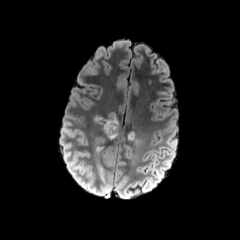
FLAIR MRI.
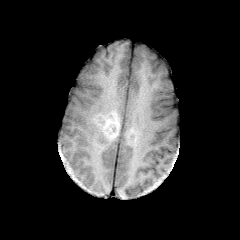
T1-weighted MR image of the same slice.
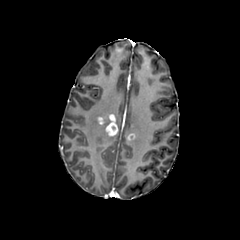
Post-contrast T1-weighted MRI.
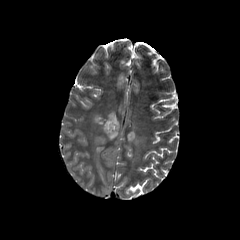
Same slice, T2-weighted MR.
Axial plane
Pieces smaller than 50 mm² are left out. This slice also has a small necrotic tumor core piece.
Findings:
• peritumoral edema: [133, 138, 144, 151], [93, 135, 106, 182]
• enhancing tumor: [98, 114, 118, 141]